Brain.
FLAIR MR image.
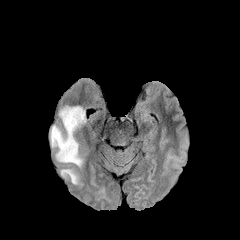
T1-weighted magnetic resonance.
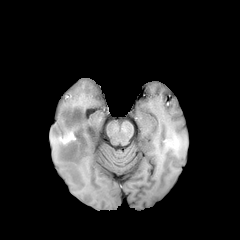
Post-contrast T1-weighted MR image.
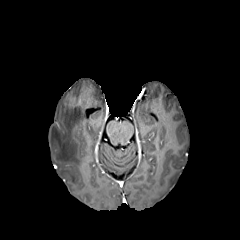
T2-weighted magnetic resonance.
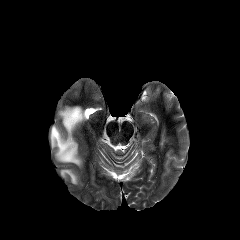
{
  "peritumoral_edema": [
    "x1=61, y1=169, x2=78, y2=184",
    "x1=50, y1=106, x2=85, y2=166"
  ]
}